240x240, Slice 43/155, Brain
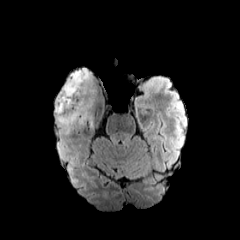
FLAIR MR.
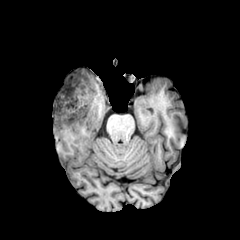
Same slice, T1-weighted magnetic resonance.
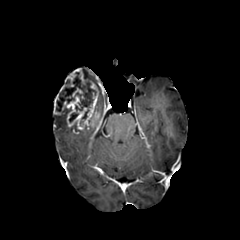
Post-contrast T1-weighted MRI.
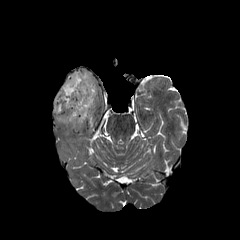
T2-weighted MRI.
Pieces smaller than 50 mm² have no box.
peritumoral edema = (82,69,92,80), (56,113,69,130)
necrotic tumor core = (56,72,95,113)
enhancing tumor = (54,69,99,129)